Axial slice | Brain
FLAIR magnetic resonance.
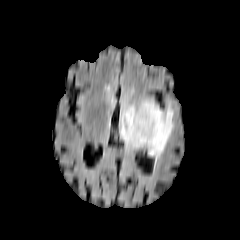
T1-weighted MR.
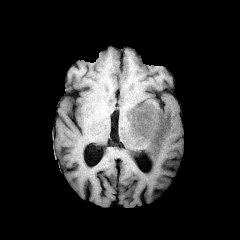
Post-contrast T1-weighted MRI.
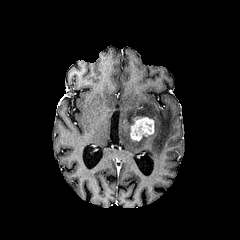
T2-weighted MRI.
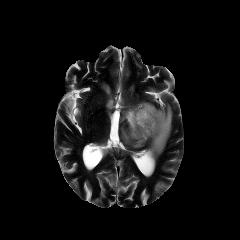
peritumoral edema: {"x1": 120, "y1": 100, "x2": 176, "y2": 160} | enhancing tumor: {"x1": 130, "y1": 116, "x2": 154, "y2": 141}